240x240. Image width 240 mm, 1.00 mm slice spacing.
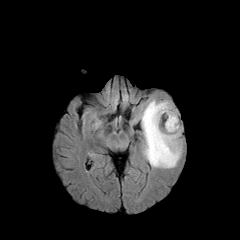
FLAIR MRI.
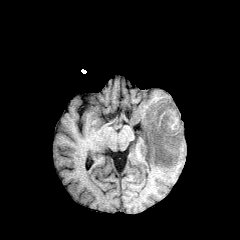
T1-weighted magnetic resonance.
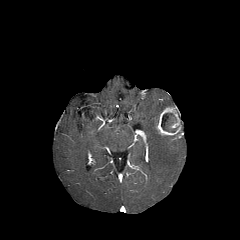
Post-contrast T1-weighted magnetic resonance of the same slice.
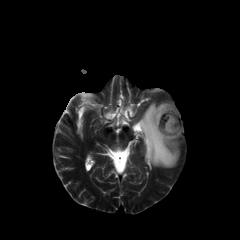
T2-weighted MR image of the same slice.
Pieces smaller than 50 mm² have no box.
The necrotic tumor core is located at 161, 113, 176, 132. The enhancing tumor is located at 156, 106, 181, 140. The largest peritumoral edema region lies within 138, 99, 181, 168.